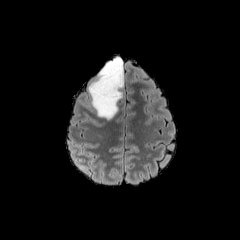
FLAIR MRI.
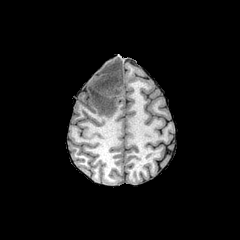
Same slice, T1-weighted MR.
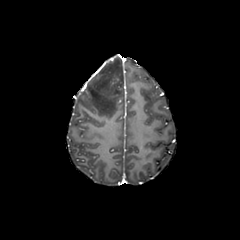
Post-contrast T1-weighted MR image.
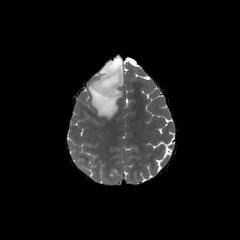
T2-weighted magnetic resonance of the same slice.
- peritumoral edema: {"x1": 88, "y1": 56, "x2": 124, "y2": 119}